Head
FLAIR MR image.
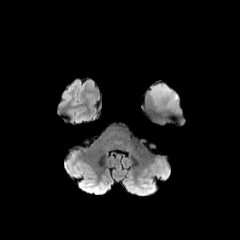
T1-weighted magnetic resonance.
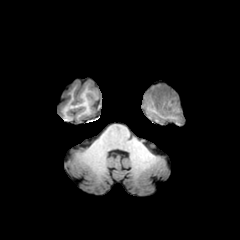
Post-contrast T1-weighted magnetic resonance.
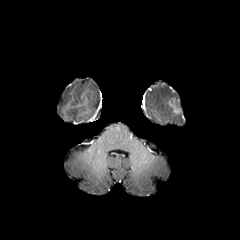
T2-weighted MR.
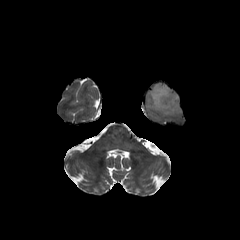
<segmentation>
  <peritumoral_edema>bbox(150, 84, 178, 111)</peritumoral_edema>
  <enhancing_tumor>bbox(168, 98, 180, 113)</enhancing_tumor>
</segmentation>